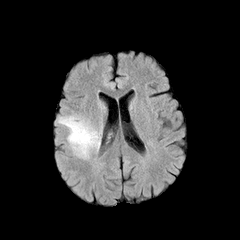
FLAIR MR.
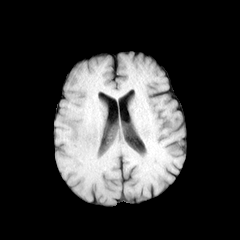
T1-weighted magnetic resonance of the same slice.
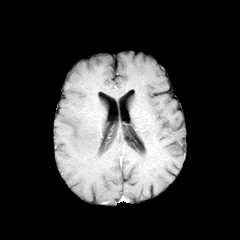
Post-contrast T1-weighted MR image of the same slice.
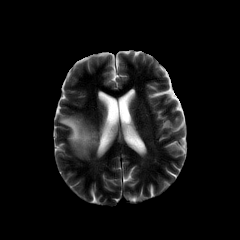
Same slice, T2-weighted MR.
Brain
{"peritumoral_edema": ["box=[58, 116, 101, 158]"]}